FLAIR magnetic resonance.
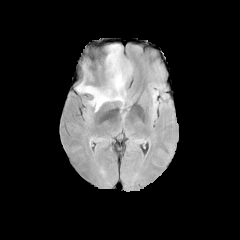
T1-weighted MR.
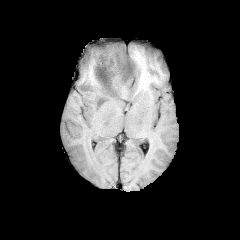
Post-contrast T1-weighted MR image.
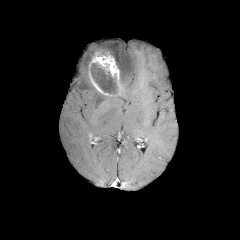
T2-weighted MRI.
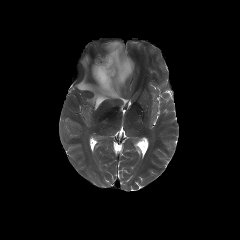
Brain.
peritumoral edema: <bbox>76, 43, 133, 110</bbox> | necrotic tumor core: <bbox>91, 63, 118, 93</bbox> | enhancing tumor: <bbox>89, 51, 122, 95</bbox>